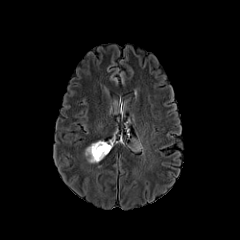
FLAIR MR.
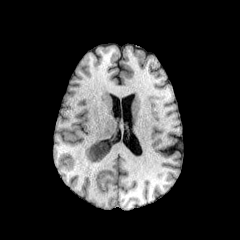
T1-weighted MR.
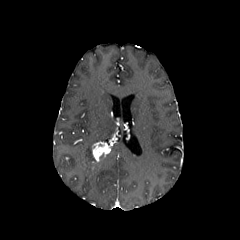
Post-contrast T1-weighted MRI of the same slice.
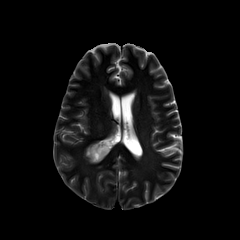
Same slice, T2-weighted MR image.
Axial view; Head
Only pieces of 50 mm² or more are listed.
<segmentation>
  <enhancing_tumor>(92, 141, 110, 161)</enhancing_tumor>
  <peritumoral_edema>(85, 143, 98, 162)</peritumoral_edema>
</segmentation>